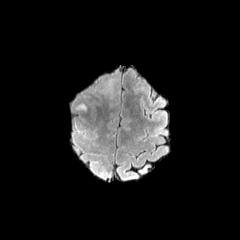
FLAIR MR.
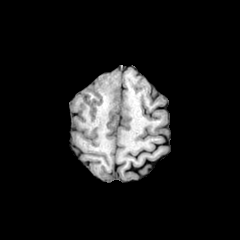
Same slice, T1-weighted MRI.
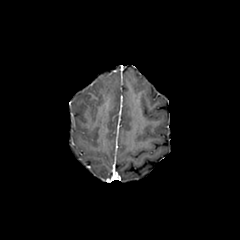
Post-contrast T1-weighted MR.
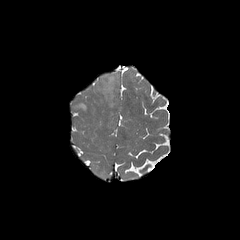
T2-weighted MR image of the same slice.
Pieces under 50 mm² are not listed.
{
  "peritumoral_edema": [
    "<bbox>98, 75, 118, 98</bbox>"
  ]
}